FLAIR MR.
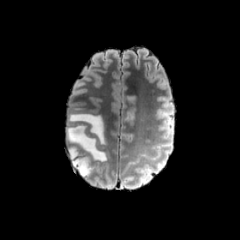
T1-weighted MRI.
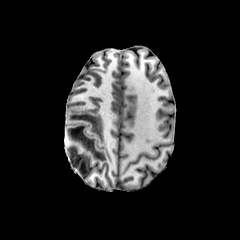
Post-contrast T1-weighted MRI.
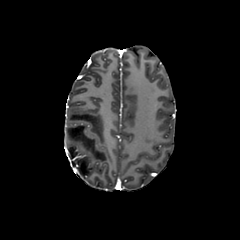
T2-weighted magnetic resonance.
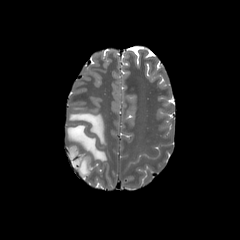
Brain
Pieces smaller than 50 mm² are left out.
{"peritumoral_edema": ["66, 112, 106, 176"]}